Image covers 240 mm x 240 mm. Slice 90 of 155.
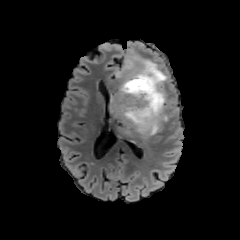
FLAIR magnetic resonance.
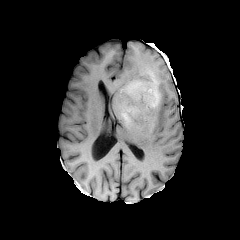
T1-weighted magnetic resonance.
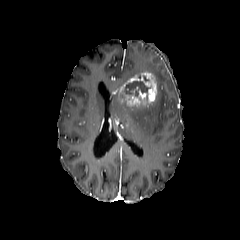
Same slice, post-contrast T1-weighted MRI.
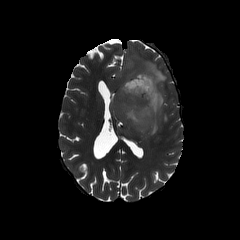
T2-weighted MRI.
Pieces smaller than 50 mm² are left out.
The largest enhancing tumor region is at {"x1": 120, "y1": 72, "x2": 157, "y2": 105}. The largest necrotic tumor core region is at {"x1": 124, "y1": 81, "x2": 148, "y2": 96}. The peritumoral edema appears at {"x1": 111, "y1": 48, "x2": 167, "y2": 136}.